FLAIR magnetic resonance.
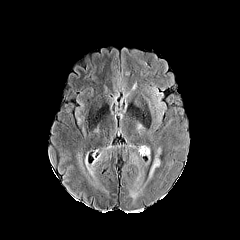
T1-weighted magnetic resonance.
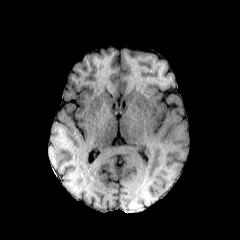
Post-contrast T1-weighted MR image.
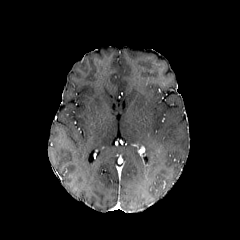
T2-weighted MRI.
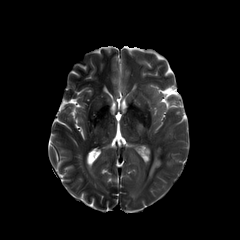
Axial plane.
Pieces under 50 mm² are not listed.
The 2 largest peritumoral edema regions are located at bbox(149, 147, 162, 178); bbox(143, 146, 151, 165).